FLAIR MR.
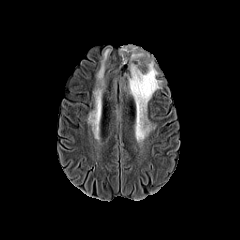
T1-weighted MR image.
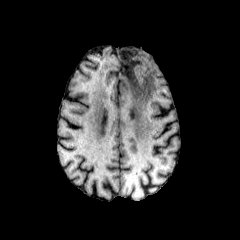
Post-contrast T1-weighted MRI.
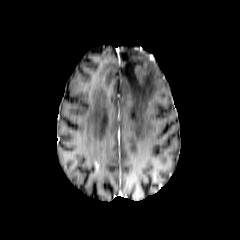
T2-weighted magnetic resonance.
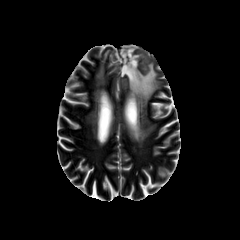
240x240.
peritumoral edema at 97,49,110,83; 120,46,160,141; 89,89,100,130